Head | Axial plane
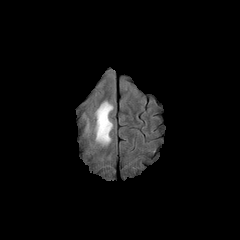
FLAIR MR image.
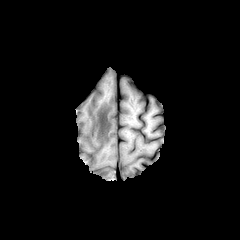
T1-weighted MR of the same slice.
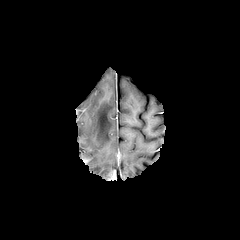
Same slice, post-contrast T1-weighted MR.
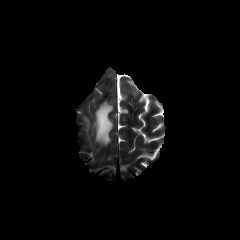
T2-weighted MR image.
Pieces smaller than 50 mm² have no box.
{"peritumoral_edema": ["bbox=[95, 101, 113, 145]"]}